Image size 240x240 | Slice index 111 | Image width 240 mm
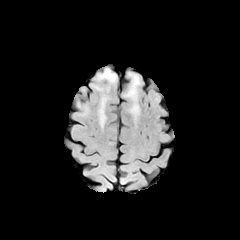
FLAIR magnetic resonance.
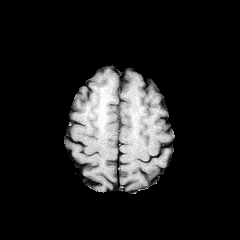
Same slice, T1-weighted magnetic resonance.
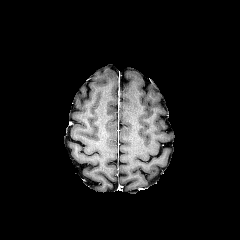
Post-contrast T1-weighted MRI.
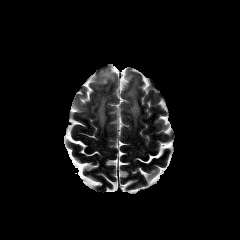
T2-weighted MRI.
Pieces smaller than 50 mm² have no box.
The 3 largest peritumoral edema regions are bounded by {"x1": 98, "y1": 97, "x2": 106, "y2": 126}, {"x1": 97, "y1": 67, "x2": 116, "y2": 89}, {"x1": 124, "y1": 73, "x2": 140, "y2": 118}.